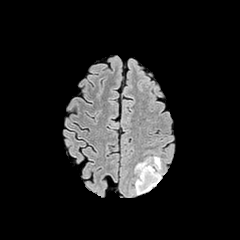
FLAIR MR image.
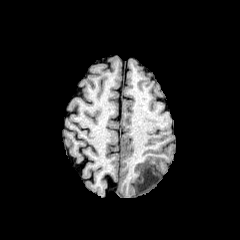
Same slice, T1-weighted MR image.
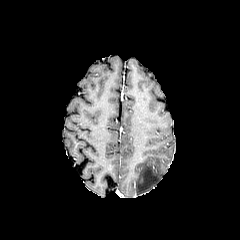
Same slice, post-contrast T1-weighted MR image.
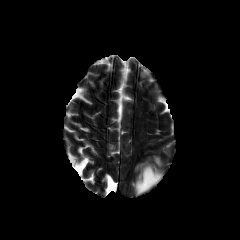
T2-weighted MRI.
• peritumoral edema: 135:156:161:194